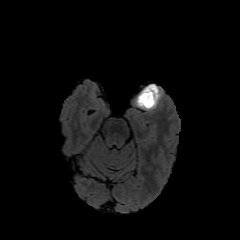
FLAIR magnetic resonance.
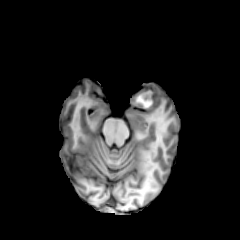
T1-weighted MR image of the same slice.
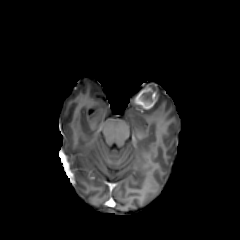
Same slice, post-contrast T1-weighted MR.
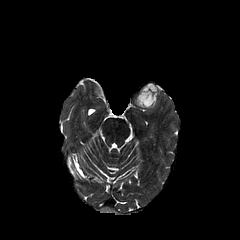
T2-weighted MRI.
Axial view
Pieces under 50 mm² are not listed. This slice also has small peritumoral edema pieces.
The enhancing tumor is located at <box>135,82,159,108</box>. The necrotic tumor core appears at <box>140,85,156,104</box>.